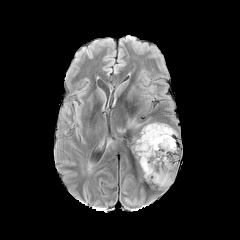
FLAIR MR image.
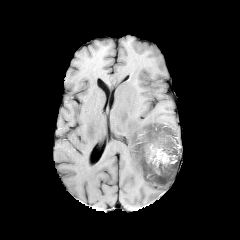
T1-weighted MRI of the same slice.
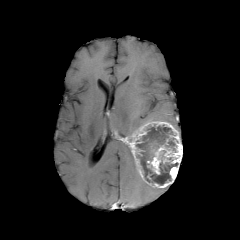
Post-contrast T1-weighted magnetic resonance.
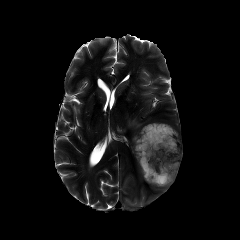
T2-weighted magnetic resonance.
Brain, Axial plane
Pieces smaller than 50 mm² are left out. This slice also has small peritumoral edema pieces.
Segmented structures:
- enhancing tumor: [128, 121, 182, 188]
- necrotic tumor core: [166, 138, 175, 150], [136, 125, 177, 184]